Image covers 240 mm x 240 mm, Axial plane, Slice 101 of 155
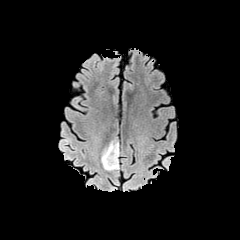
FLAIR magnetic resonance.
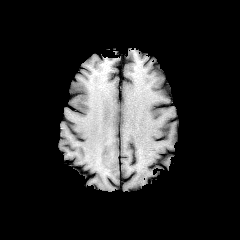
T1-weighted MR image of the same slice.
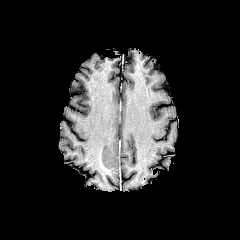
Post-contrast T1-weighted MRI.
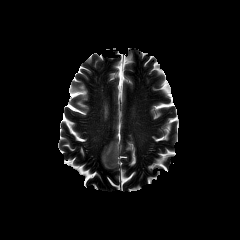
T2-weighted MRI.
peritumoral_edema:
  - (left=102, top=141, right=118, bottom=170)
enhancing_tumor:
  - (left=99, top=146, right=114, bottom=172)